FLAIR MR.
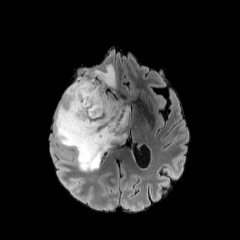
T1-weighted MR.
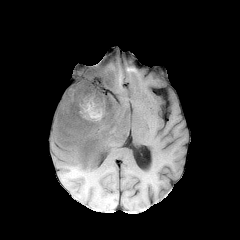
Post-contrast T1-weighted MR image.
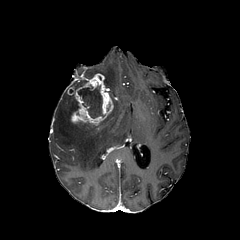
T2-weighted MR.
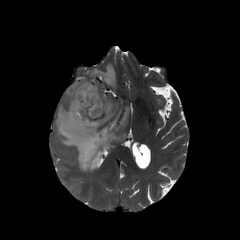
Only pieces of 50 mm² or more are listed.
enhancing tumor at (67,73,113,126)
necrotic tumor core at (78,85,104,118), (75,80,87,90)
peritumoral edema at (83,64,116,89), (55,89,129,171)